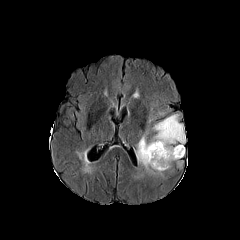
FLAIR MR.
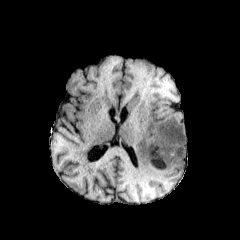
T1-weighted MR image of the same slice.
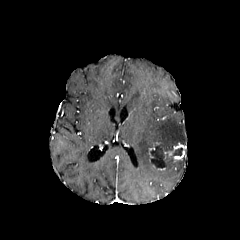
Post-contrast T1-weighted MR of the same slice.
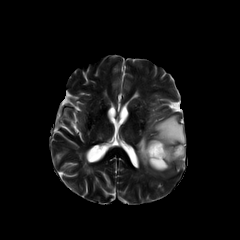
Same slice, T2-weighted MR image.
Head; 240x240
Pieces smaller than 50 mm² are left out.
enhancing tumor = 147 144 155 157, 164 144 185 160
peritumoral edema = 135 114 185 175
necrotic tumor core = 150 142 170 168, 173 148 182 155